Slice index 89 | Brain | Axial view
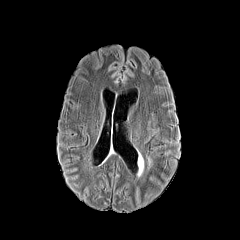
FLAIR MR.
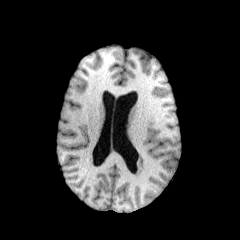
Same slice, T1-weighted MRI.
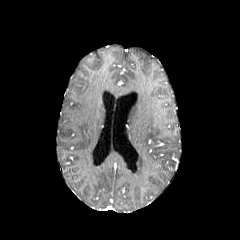
Same slice, post-contrast T1-weighted MR.
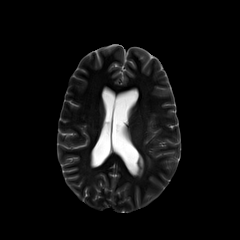
T2-weighted MR.
{
  "peritumoral_edema": [
    "[138,154,143,176]"
  ]
}